Axial slice. Image width 240 mm, 1.00 mm slice spacing.
FLAIR MR image.
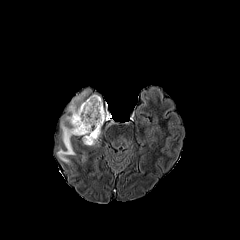
T1-weighted MR image.
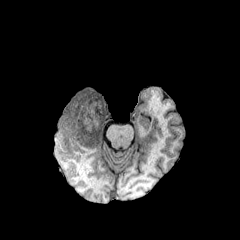
Post-contrast T1-weighted MR image.
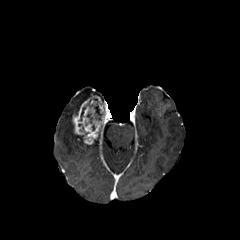
T2-weighted MR.
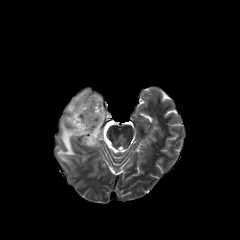
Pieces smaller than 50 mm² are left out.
The largest necrotic tumor core region is located at [92,104,101,120]. The largest peritumoral edema region is at [57,89,90,163]. The enhancing tumor is located at [72,95,103,144].